Head, Slice index 101, 240x240 px
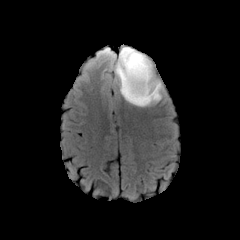
FLAIR MR.
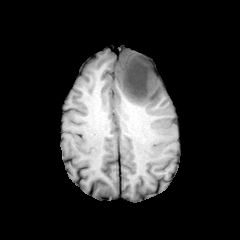
T1-weighted MR.
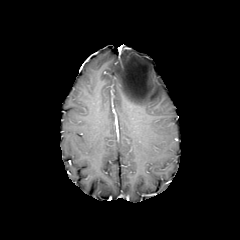
Same slice, post-contrast T1-weighted MR image.
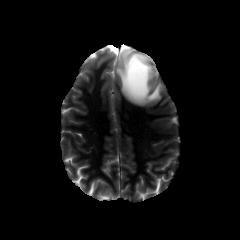
T2-weighted MR.
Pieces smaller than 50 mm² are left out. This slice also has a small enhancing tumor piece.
peritumoral edema: x1=114 y1=47 x2=163 y2=106